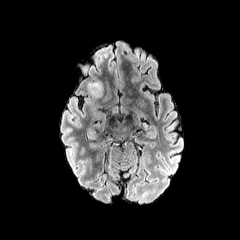
FLAIR MRI.
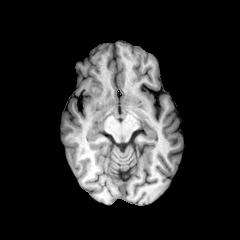
T1-weighted MR image.
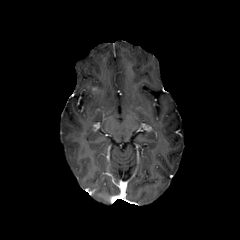
Post-contrast T1-weighted MRI of the same slice.
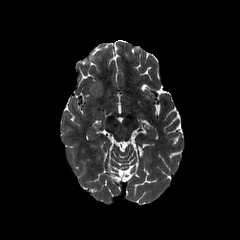
T2-weighted MR image of the same slice.
Head.
enhancing_tumor:
  - (left=91, top=86, right=101, bottom=94)
peritumoral_edema:
  - (left=87, top=81, right=103, bottom=97)